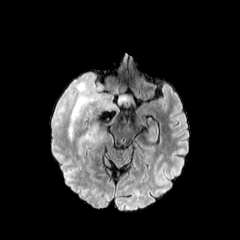
FLAIR MRI.
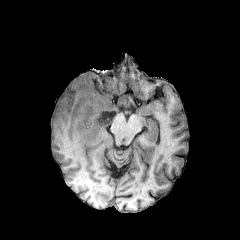
T1-weighted magnetic resonance.
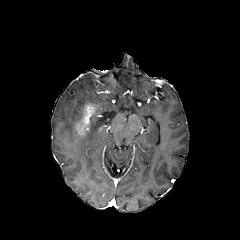
Same slice, post-contrast T1-weighted MR.
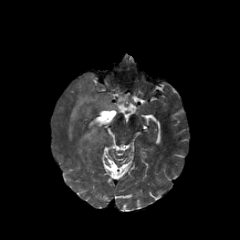
Same slice, T2-weighted MR.
240x240 | Axial slice
{"enhancing_tumor": ["75,103,97,135"], "peritumoral_edema": ["117,95,129,106", "52,71,119,146"]}